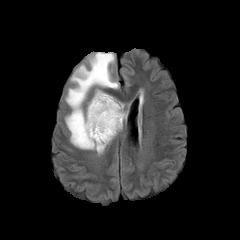
FLAIR magnetic resonance.
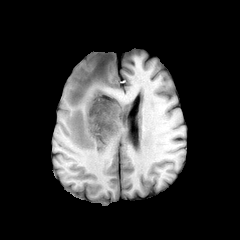
Same slice, T1-weighted MRI.
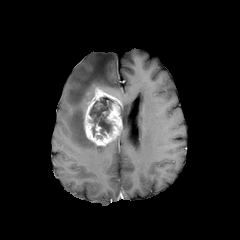
Post-contrast T1-weighted MR image of the same slice.
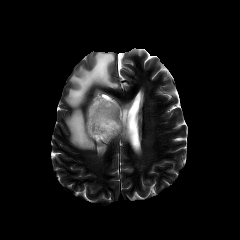
Same slice, T2-weighted MRI.
240x240; Head; Axial slice
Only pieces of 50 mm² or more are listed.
<segmentation>
  <peritumoral_edema>65 52 118 149</peritumoral_edema>
  <enhancing_tumor>84 87 122 145</enhancing_tumor>
  <necrotic_tumor_core>89 98 111 135</necrotic_tumor_core>
</segmentation>